FLAIR MR.
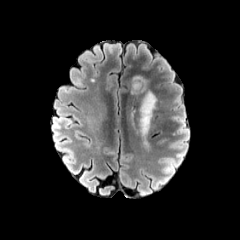
T1-weighted MR image.
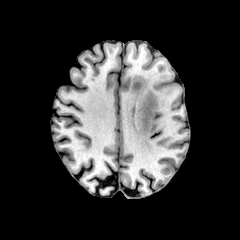
Post-contrast T1-weighted MR image.
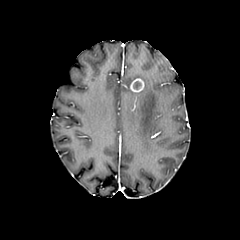
T2-weighted magnetic resonance.
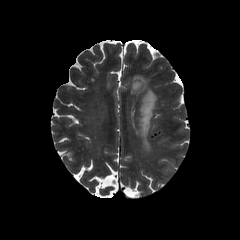
Axial plane
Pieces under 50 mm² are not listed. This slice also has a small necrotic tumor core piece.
Annotated regions:
* enhancing tumor: {"x1": 130, "y1": 78, "x2": 144, "y2": 92}
* peritumoral edema: {"x1": 131, "y1": 76, "x2": 156, "y2": 150}